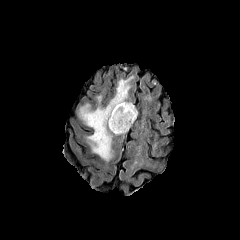
FLAIR MR.
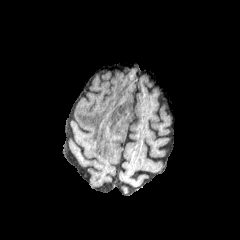
T1-weighted magnetic resonance.
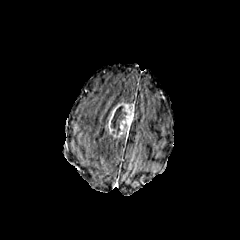
Post-contrast T1-weighted MR image.
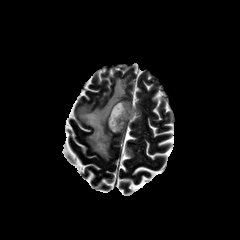
T2-weighted magnetic resonance.
Image size 240x240, Brain
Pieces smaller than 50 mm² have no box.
The enhancing tumor is at [x1=106, y1=102, x2=137, y2=137]. The largest necrotic tumor core region is located at [x1=111, y1=106, x2=126, y2=134]. The largest peritumoral edema region appears at [x1=79, y1=79, x2=130, y2=161].